240x240. Head. Slice 72/155.
FLAIR MRI.
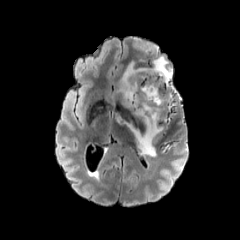
T1-weighted magnetic resonance.
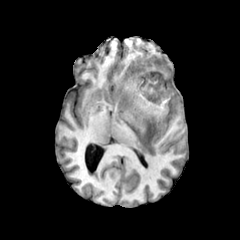
Post-contrast T1-weighted MR.
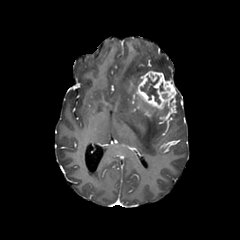
T2-weighted MRI.
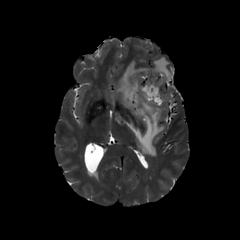
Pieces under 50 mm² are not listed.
enhancing tumor — l=136, t=71, r=176, b=109
peritumoral edema — l=118, t=56, r=172, b=156
necrotic tumor core — l=140, t=76, r=160, b=103